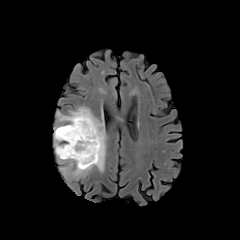
FLAIR MR image.
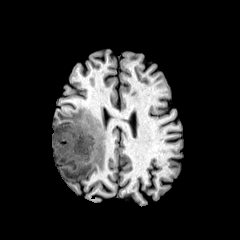
T1-weighted MR image.
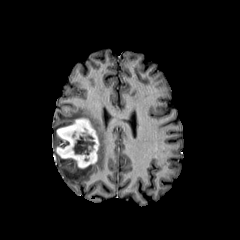
Post-contrast T1-weighted MR.
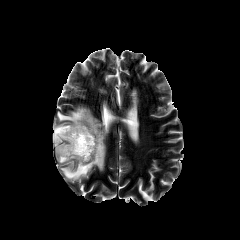
T2-weighted MRI.
Head; Axial plane
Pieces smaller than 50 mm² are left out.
necrotic_tumor_core:
  - {"x1": 73, "y1": 134, "x2": 94, "y2": 155}
peritumoral_edema:
  - {"x1": 53, "y1": 106, "x2": 106, "y2": 181}
enhancing_tumor:
  - {"x1": 56, "y1": 118, "x2": 99, "y2": 168}